240x240, Head
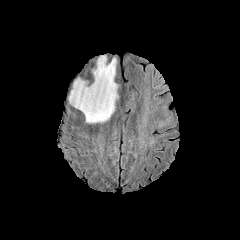
FLAIR MR.
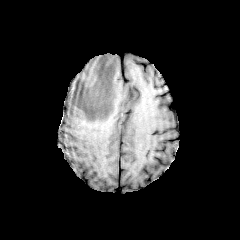
T1-weighted MRI.
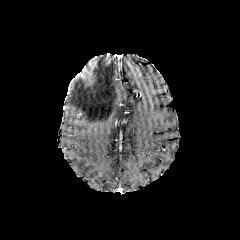
Post-contrast T1-weighted MR image.
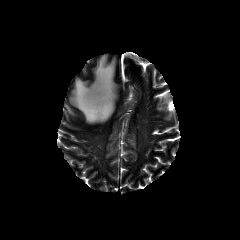
T2-weighted MR.
peritumoral_edema:
  - 69 55 118 123